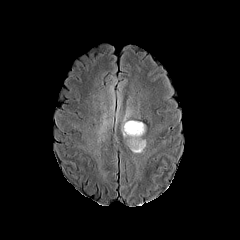
FLAIR magnetic resonance.
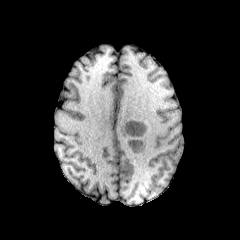
T1-weighted MR image.
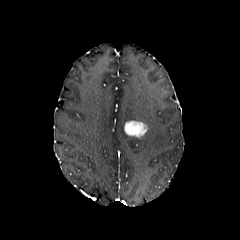
Post-contrast T1-weighted MRI of the same slice.
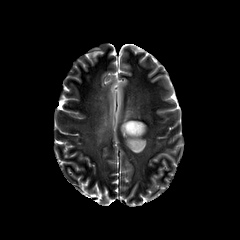
T2-weighted magnetic resonance.
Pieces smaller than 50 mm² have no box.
The 3 largest peritumoral edema regions are bounded by <box>121,107,146,153</box>, <box>98,113,111,134</box>, <box>109,82,115,111</box>. The enhancing tumor is bounded by <box>124,120,146,137</box>.